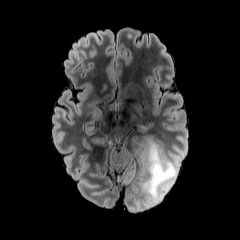
FLAIR MR.
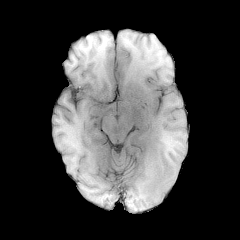
T1-weighted MRI.
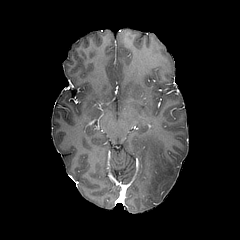
Post-contrast T1-weighted MR.
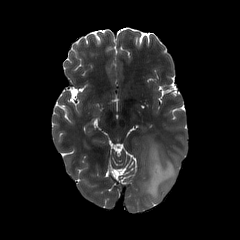
T2-weighted MRI of the same slice.
The peritumoral edema is bounded by 141, 136, 177, 206.